240x240 px
FLAIR MRI.
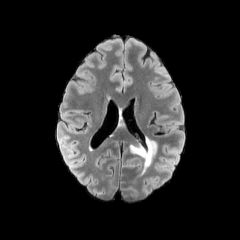
T1-weighted magnetic resonance.
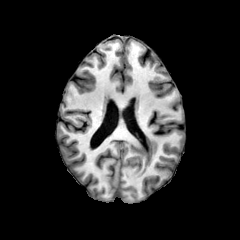
Post-contrast T1-weighted magnetic resonance.
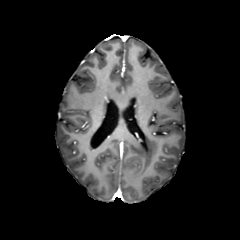
T2-weighted MR.
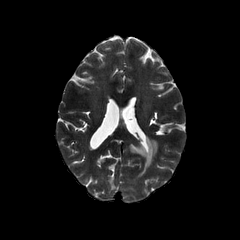
peritumoral edema: l=128, t=136, r=158, b=176